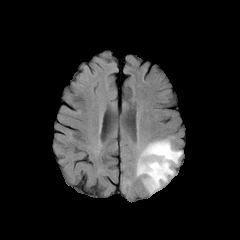
FLAIR MR image.
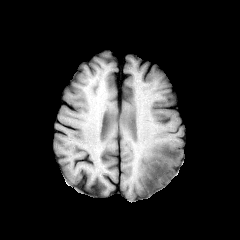
T1-weighted MR image.
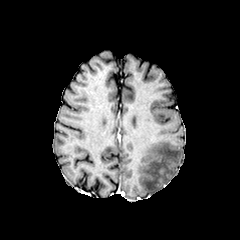
Post-contrast T1-weighted magnetic resonance.
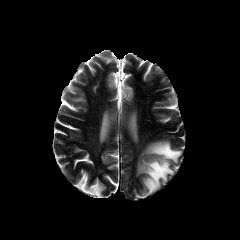
T2-weighted MR image of the same slice.
Brain; 240x240
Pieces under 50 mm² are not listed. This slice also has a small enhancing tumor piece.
peritumoral_edema:
  - 136,139,182,194